Axial view, Slice 99 of 155, 240x240 px, Head
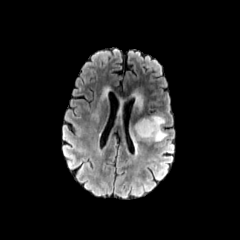
FLAIR MR image.
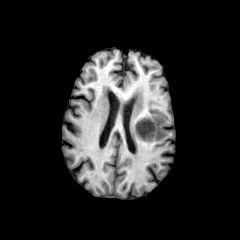
T1-weighted magnetic resonance.
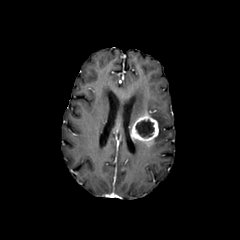
Post-contrast T1-weighted MR image of the same slice.
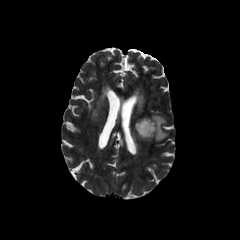
T2-weighted MR image.
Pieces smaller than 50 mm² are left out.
The enhancing tumor is at 130:113:158:146. The 2 largest peritumoral edema regions appear at 150:114:167:141, 135:96:142:111. The necrotic tumor core lies within 135:119:154:137.